FLAIR MRI.
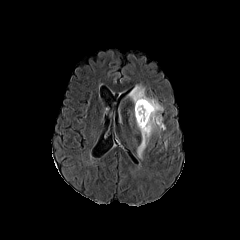
T1-weighted magnetic resonance.
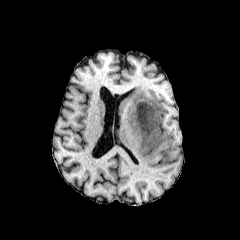
Post-contrast T1-weighted magnetic resonance.
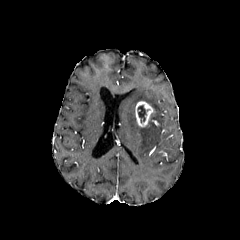
T2-weighted magnetic resonance.
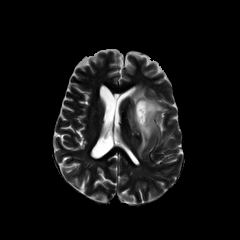
Brain
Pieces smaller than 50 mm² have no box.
Findings:
* peritumoral edema: 129,85,164,158
* enhancing tumor: 135,101,154,127
* necrotic tumor core: 137,105,146,122